Axial slice
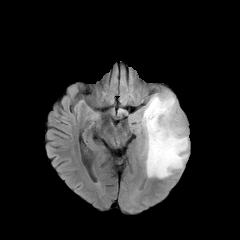
FLAIR MR.
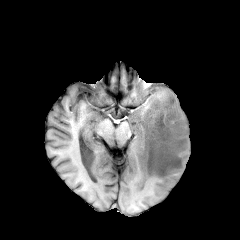
T1-weighted magnetic resonance.
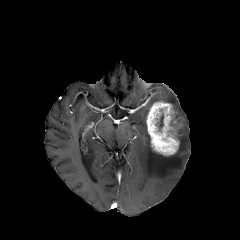
Post-contrast T1-weighted MRI of the same slice.
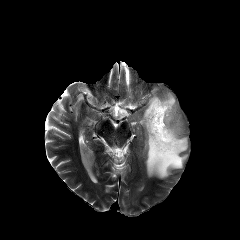
T2-weighted magnetic resonance.
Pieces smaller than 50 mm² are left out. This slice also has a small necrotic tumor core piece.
peritumoral_edema:
  - [133,92,188,178]
enhancing_tumor:
  - [146,101,182,156]